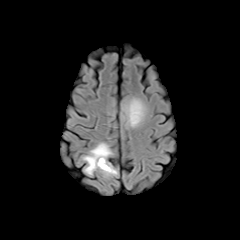
FLAIR MR.
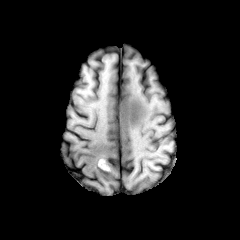
T1-weighted MR of the same slice.
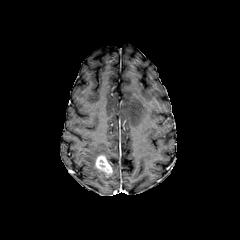
Post-contrast T1-weighted magnetic resonance.
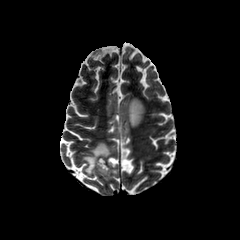
Same slice, T2-weighted MRI.
240x240 px | Axial view
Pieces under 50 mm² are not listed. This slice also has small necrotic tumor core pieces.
enhancing tumor: rect(95, 155, 112, 175)
peritumoral edema: rect(123, 98, 144, 127); rect(83, 143, 111, 174)